FLAIR MR image.
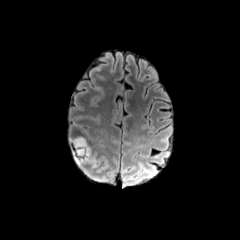
T1-weighted MR.
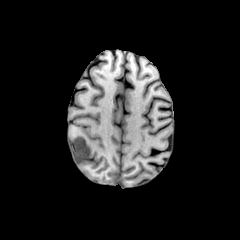
Post-contrast T1-weighted MR image.
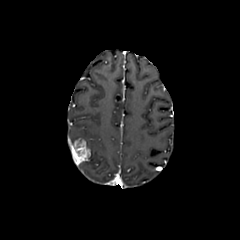
T2-weighted magnetic resonance.
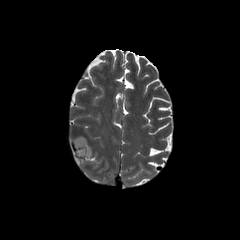
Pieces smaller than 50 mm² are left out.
The enhancing tumor lies within left=68, top=138, right=90, bottom=165. The largest peritumoral edema region appears at left=79, top=143, right=94, bottom=166.